Axial plane | Slice 106 of 155
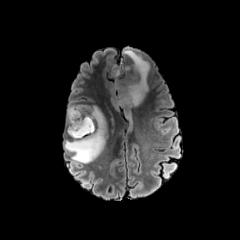
FLAIR MR image.
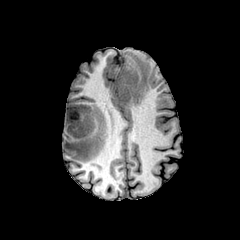
Same slice, T1-weighted magnetic resonance.
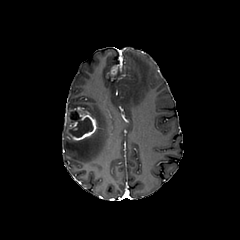
Same slice, post-contrast T1-weighted MR image.
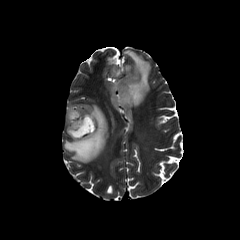
T2-weighted MR image.
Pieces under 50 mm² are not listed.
enhancing tumor at x1=65 y1=107 x2=96 y2=140, x1=109 y1=60 x2=122 y2=78
necrotic tumor core at x1=69 y1=111 x2=93 y2=137
peritumoral edema at x1=64 y1=105 x2=106 y2=163, x1=111 y1=48 x2=150 y2=107